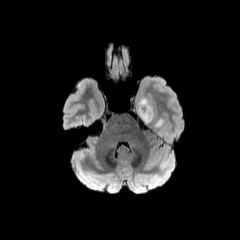
FLAIR MR image.
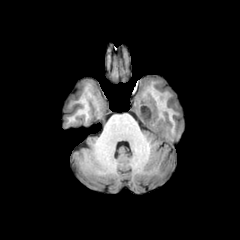
T1-weighted magnetic resonance of the same slice.
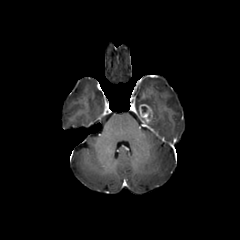
Post-contrast T1-weighted MR image.
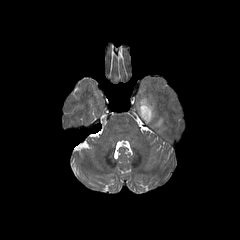
T2-weighted MRI.
Axial view.
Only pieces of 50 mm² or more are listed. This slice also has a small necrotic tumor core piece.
The enhancing tumor is located at box(139, 104, 153, 123). The peritumoral edema appears at box(137, 96, 166, 136).